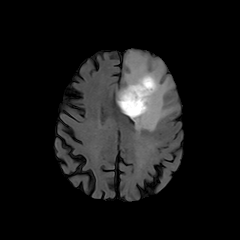
FLAIR MR image.
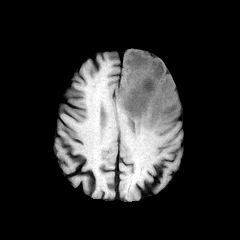
Same slice, T1-weighted magnetic resonance.
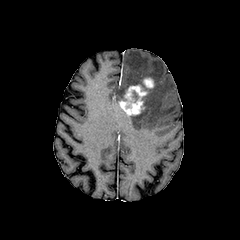
Post-contrast T1-weighted MR of the same slice.
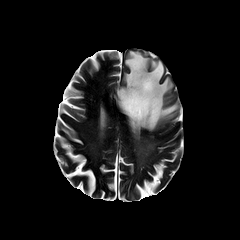
Same slice, T2-weighted magnetic resonance.
Axial plane. 240x240.
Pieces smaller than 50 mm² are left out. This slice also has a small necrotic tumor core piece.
enhancing tumor at <bbox>119, 77, 154, 115</bbox>
peritumoral edema at <bbox>117, 51, 177, 131</bbox>